Head; Slice 85/155
FLAIR MR image.
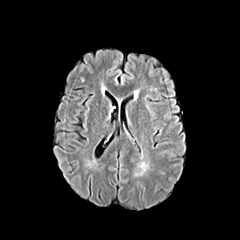
T1-weighted MR image.
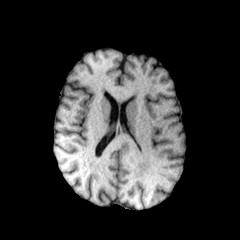
Post-contrast T1-weighted MR image.
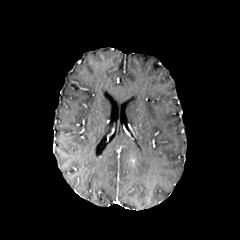
T2-weighted MR image.
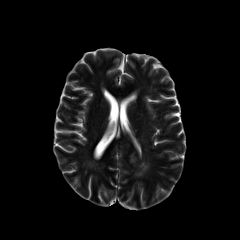
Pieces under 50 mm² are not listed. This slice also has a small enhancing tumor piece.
- peritumoral edema: region(135, 161, 149, 175)